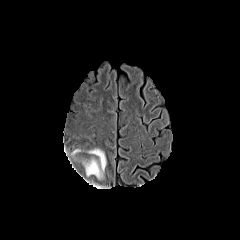
FLAIR MR image.
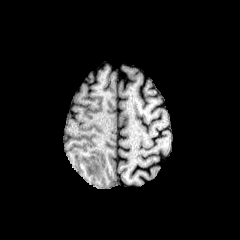
T1-weighted magnetic resonance.
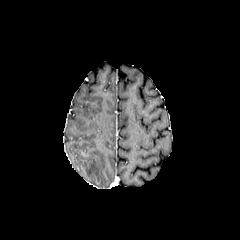
Post-contrast T1-weighted MRI of the same slice.
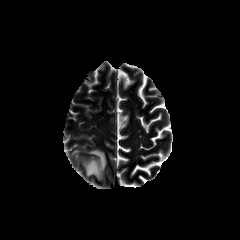
T2-weighted MRI of the same slice.
Head. Axial plane. 240x240.
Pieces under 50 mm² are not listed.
peritumoral edema — (x1=84, y1=149, x2=106, y2=178)